FLAIR magnetic resonance.
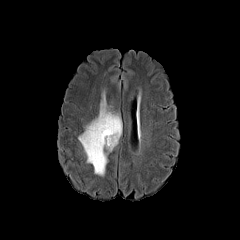
T1-weighted magnetic resonance.
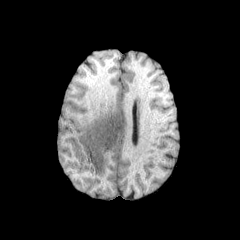
Post-contrast T1-weighted MR.
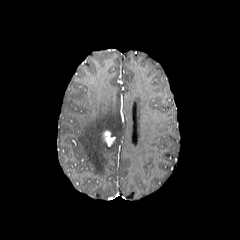
T2-weighted MRI.
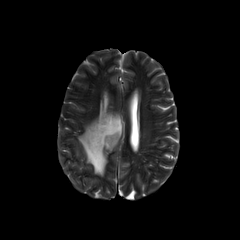
Brain | Axial view
The peritumoral edema is bounded by [78, 101, 122, 176]. The enhancing tumor is bounded by [103, 130, 115, 146].